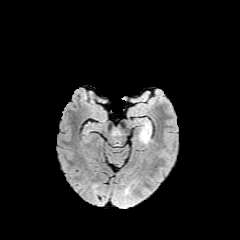
FLAIR MR image.
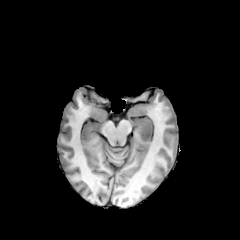
Same slice, T1-weighted magnetic resonance.
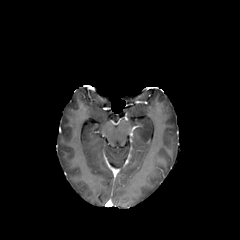
Post-contrast T1-weighted MRI of the same slice.
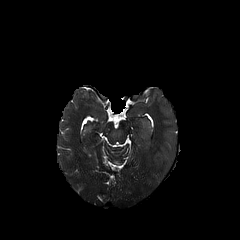
Same slice, T2-weighted MR.
Axial plane. 240x240 px.
peritumoral edema = 140, 127, 150, 142